FLAIR MRI.
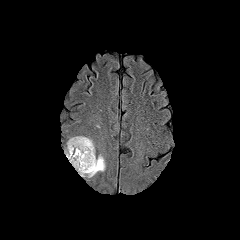
T1-weighted MR.
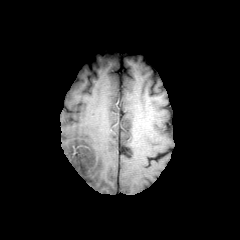
Post-contrast T1-weighted magnetic resonance.
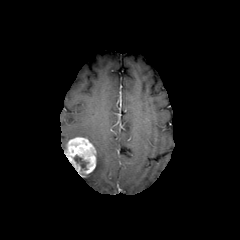
T2-weighted MR image.
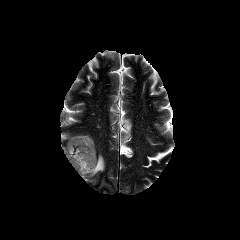
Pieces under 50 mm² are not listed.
peritumoral edema — x1=87, y1=154, x2=105, y2=177
enhancing tumor — x1=64, y1=137, x2=96, y2=176
necrotic tumor core — x1=74, y1=155, x2=86, y2=169